240x240. Axial slice. Head.
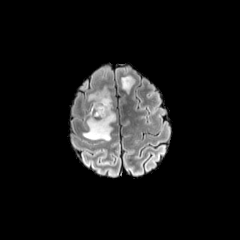
FLAIR magnetic resonance.
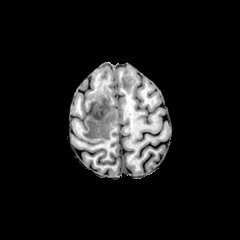
T1-weighted MRI.
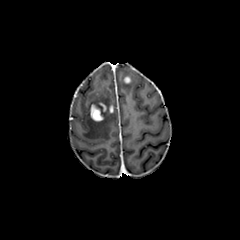
Post-contrast T1-weighted magnetic resonance of the same slice.
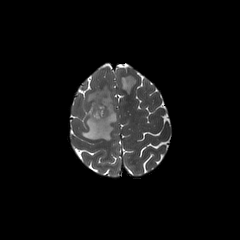
T2-weighted MRI.
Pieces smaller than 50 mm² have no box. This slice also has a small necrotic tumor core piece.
peritumoral edema = 120:75:137:94, 83:85:116:140
enhancing tumor = 90:102:106:121